Slice index 107. 240x240 px.
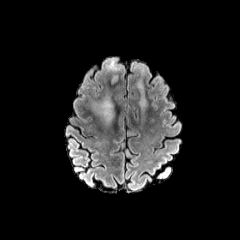
FLAIR MRI.
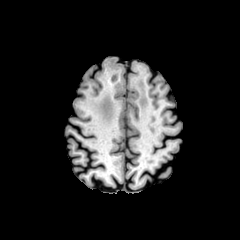
T1-weighted MR.
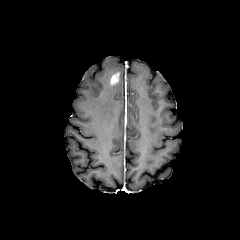
Same slice, post-contrast T1-weighted magnetic resonance.
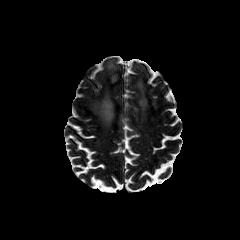
Same slice, T2-weighted MR.
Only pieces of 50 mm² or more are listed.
The enhancing tumor appears at 111:73:118:84. The 3 largest peritumoral edema regions are bounded by 105:58:122:71, 137:80:146:109, 94:96:113:123.